FLAIR MRI.
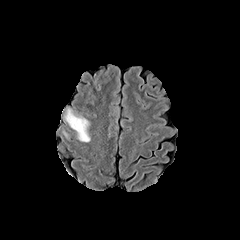
T1-weighted MRI.
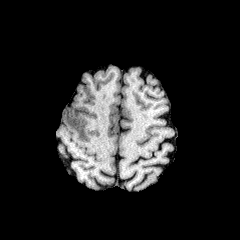
Post-contrast T1-weighted magnetic resonance.
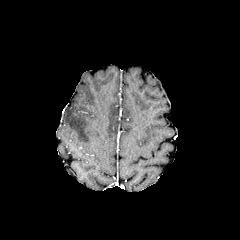
T2-weighted MRI.
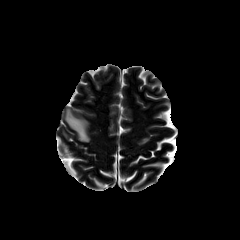
Head
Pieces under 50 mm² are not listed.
• peritumoral edema: rect(64, 108, 90, 142)